Image size 240x240; Image covers 240 mm x 240 mm
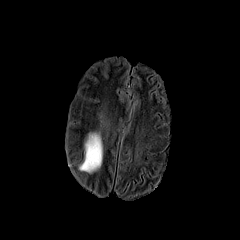
FLAIR magnetic resonance.
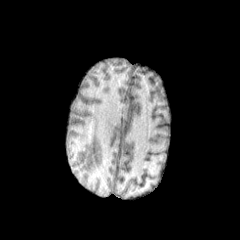
T1-weighted MR.
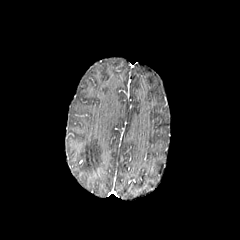
Post-contrast T1-weighted magnetic resonance.
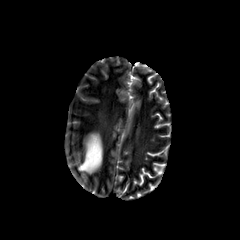
T2-weighted MRI.
peritumoral_edema:
  - 78, 131, 102, 173